Head; Axial plane
FLAIR MR.
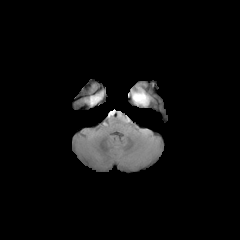
T1-weighted MR image.
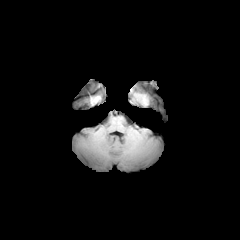
Post-contrast T1-weighted MR image.
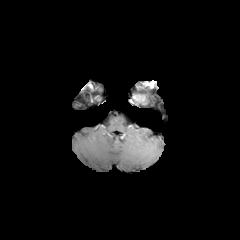
T2-weighted MRI.
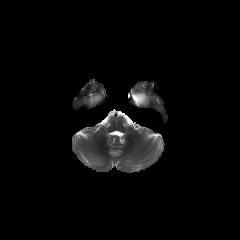
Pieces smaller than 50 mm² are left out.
{
  "enhancing_tumor": [
    "<bbox>132, 90, 145, 104</bbox>"
  ],
  "peritumoral_edema": [
    "<bbox>137, 88, 149, 105</bbox>"
  ]
}